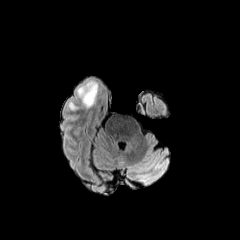
FLAIR magnetic resonance.
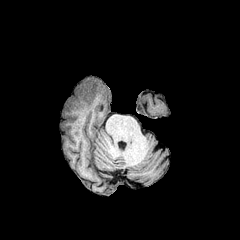
T1-weighted magnetic resonance.
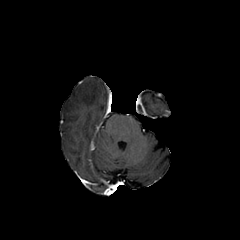
Same slice, post-contrast T1-weighted MR.
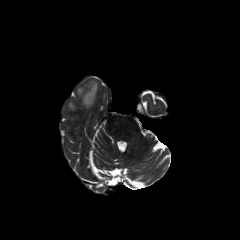
T2-weighted MR.
Head | Axial view
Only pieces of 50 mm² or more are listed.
The largest peritumoral edema region is located at region(77, 81, 97, 107).